Axial view, Image width 240 mm, Slice 106/155
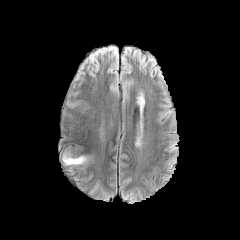
FLAIR MR image.
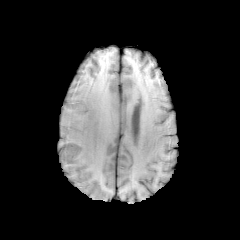
T1-weighted MR image.
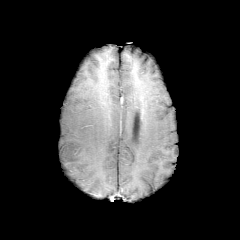
Post-contrast T1-weighted MR of the same slice.
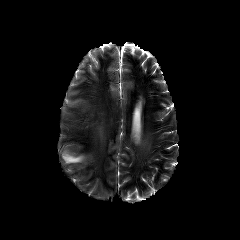
T2-weighted MR image of the same slice.
peritumoral edema: (62, 151, 86, 165)